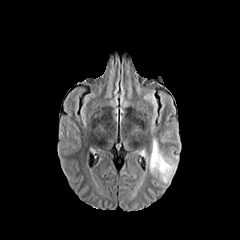
FLAIR magnetic resonance.
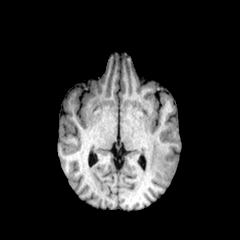
Same slice, T1-weighted MRI.
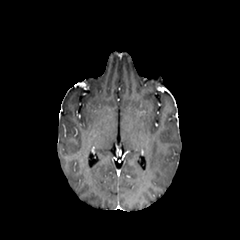
Post-contrast T1-weighted MR image.
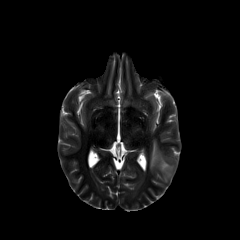
T2-weighted magnetic resonance.
peritumoral edema at 150 138 176 182